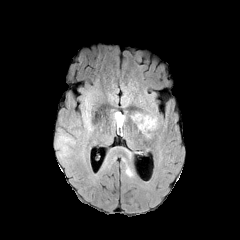
FLAIR MR.
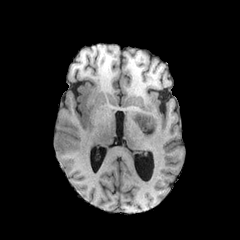
T1-weighted MR of the same slice.
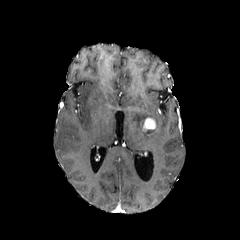
Post-contrast T1-weighted magnetic resonance.
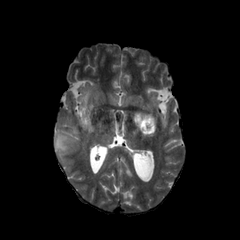
T2-weighted MR.
240x240; Brain
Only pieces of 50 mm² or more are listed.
enhancing_tumor:
  - [142, 117, 156, 132]
peritumoral_edema:
  - [124, 164, 133, 177]
  - [55, 94, 93, 157]
  - [132, 112, 157, 137]